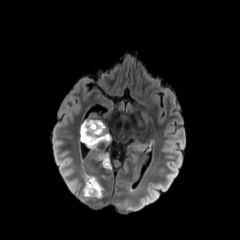
FLAIR MR image.
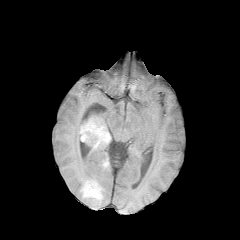
T1-weighted MR of the same slice.
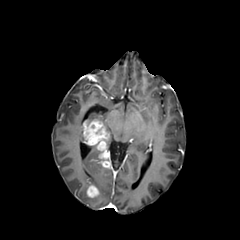
Post-contrast T1-weighted magnetic resonance of the same slice.
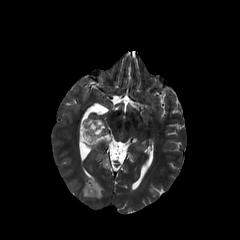
T2-weighted MR of the same slice.
Brain, Axial slice
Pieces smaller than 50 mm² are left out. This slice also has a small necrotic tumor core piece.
<segmentation>
  <enhancing_tumor>x1=81 y1=120 x2=111 y2=168, x1=86 y1=184 x2=99 y2=197</enhancing_tumor>
  <peritumoral_edema>x1=82 y1=173 x2=104 y2=200</peritumoral_edema>
</segmentation>